Slice index 48; Image covers 240 mm x 240 mm; Axial view; 240x240 px
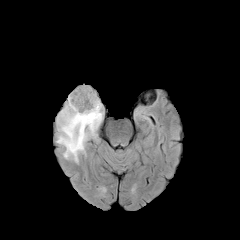
FLAIR MR.
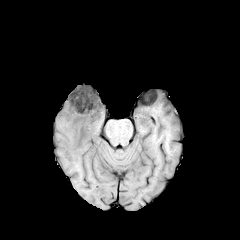
T1-weighted MR of the same slice.
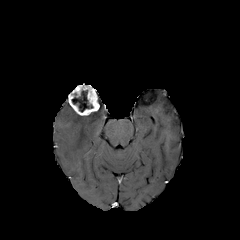
Same slice, post-contrast T1-weighted magnetic resonance.
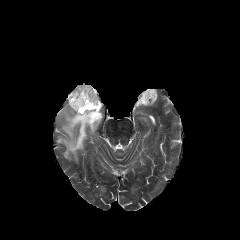
Same slice, T2-weighted magnetic resonance.
• peritumoral edema: (56,100,103,162)
• enhancing tumor: (68,84,99,115)
• necrotic tumor core: (72,91,92,111)